Axial plane. 240x240 px. Head.
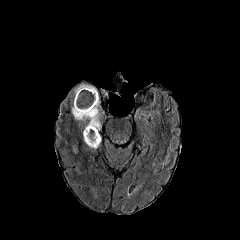
FLAIR MR.
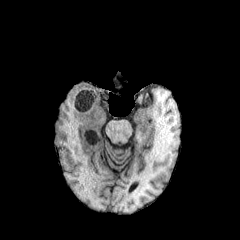
T1-weighted magnetic resonance of the same slice.
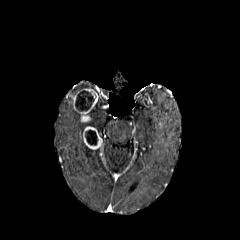
Post-contrast T1-weighted MR image.
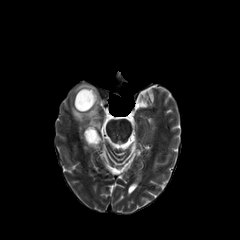
T2-weighted MR.
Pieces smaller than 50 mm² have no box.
2 necrotic tumor core regions are located at [75,90,93,110], [85,130,97,145]. The largest peritumoral edema region appears at [68,84,104,139]. 2 enhancing tumor regions appear at [83,126,101,149], [72,88,98,122].